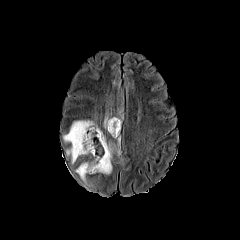
FLAIR MRI.
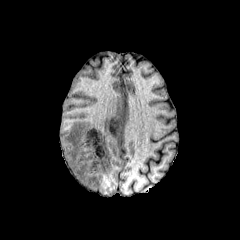
T1-weighted MR of the same slice.
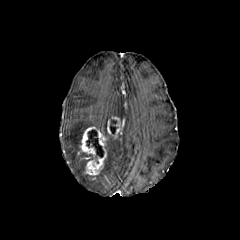
Same slice, post-contrast T1-weighted MRI.
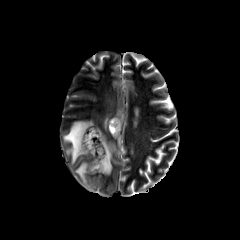
Same slice, T2-weighted MR.
240x240 px; Axial view
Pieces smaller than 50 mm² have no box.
peritumoral edema: left=75, top=162, right=91, bottom=187; left=100, top=133, right=120, bottom=174; left=63, top=120, right=99, bottom=164
enhancing tumor: left=107, top=117, right=122, bottom=138; left=78, top=126, right=107, bottom=175
necrotic tumor core: left=86, top=130, right=103, bottom=157; left=110, top=119, right=117, bottom=134